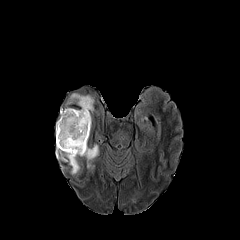
FLAIR MR image.
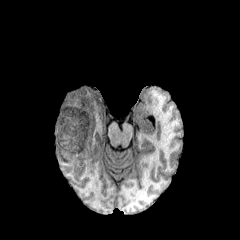
T1-weighted magnetic resonance.
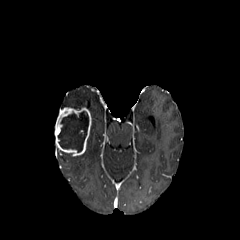
Post-contrast T1-weighted MR image.
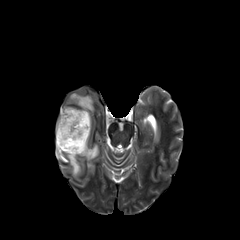
T2-weighted MR.
Head
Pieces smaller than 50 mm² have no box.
3 peritumoral edema regions are bounded by (66, 93, 94, 112), (59, 151, 80, 175), (80, 144, 98, 169). The necrotic tumor core is at (58, 111, 88, 152). The largest enhancing tumor region is located at (55, 107, 91, 156).